FLAIR MR image.
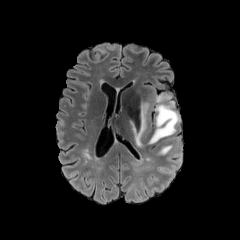
T1-weighted MR.
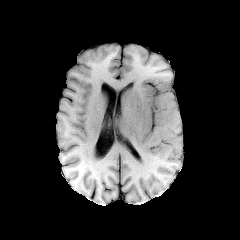
Post-contrast T1-weighted MRI.
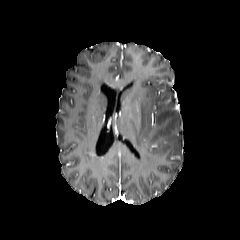
T2-weighted MRI.
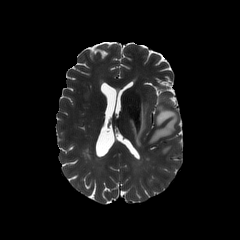
Brain
3 peritumoral edema regions appear at [149, 93, 179, 144], [158, 145, 172, 154], [132, 102, 148, 147].